FLAIR MRI.
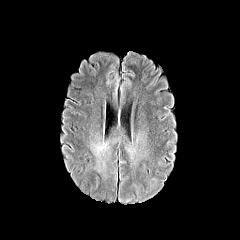
T1-weighted MR.
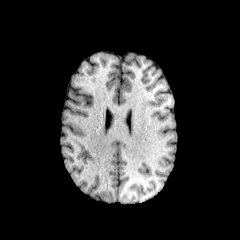
Post-contrast T1-weighted MRI.
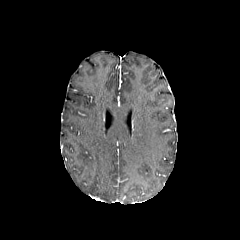
T2-weighted MR image.
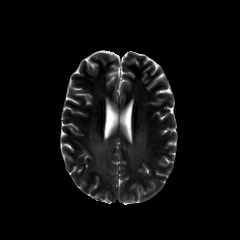
Axial slice. Brain.
peritumoral edema = 90,128,150,183